FLAIR MR.
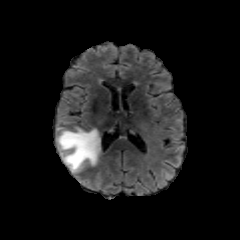
T1-weighted magnetic resonance.
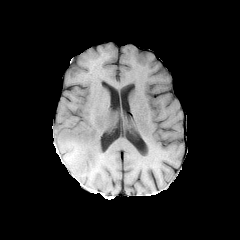
Post-contrast T1-weighted MR.
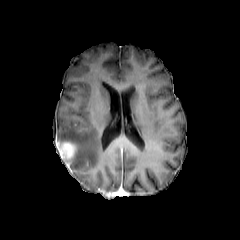
T2-weighted magnetic resonance.
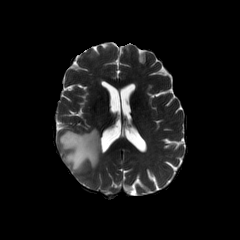
enhancing_tumor:
  - region(57, 141, 76, 166)
peritumoral_edema:
  - region(57, 127, 100, 175)